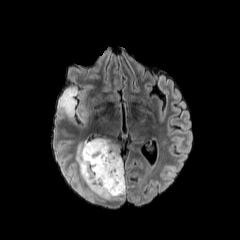
FLAIR MR.
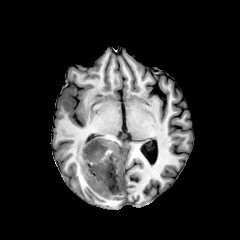
T1-weighted magnetic resonance.
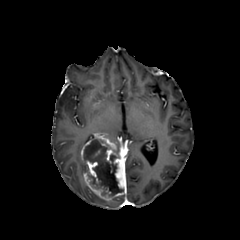
Post-contrast T1-weighted MR image.
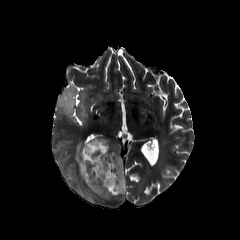
Same slice, T2-weighted magnetic resonance.
Brain
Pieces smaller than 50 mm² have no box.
necrotic tumor core: [x1=83, y1=139, x2=123, y2=195] | peritumoral edema: [x1=58, y1=87, x2=78, y2=116], [x1=83, y1=186, x2=104, y2=201], [x1=76, y1=141, x2=87, y2=179] | enhancing tumor: [x1=81, y1=136, x2=126, y2=200]